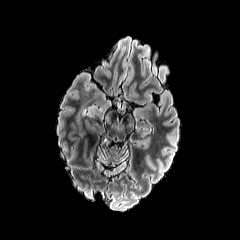
FLAIR MRI.
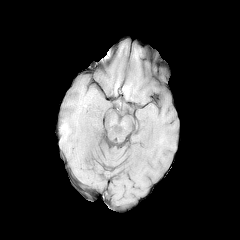
Same slice, T1-weighted magnetic resonance.
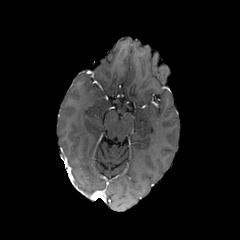
Same slice, post-contrast T1-weighted magnetic resonance.
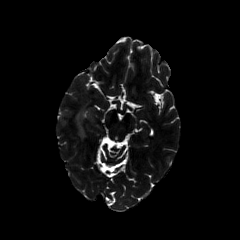
T2-weighted MRI.
The peritumoral edema is bounded by <bbox>76, 115, 85, 136</bbox>.